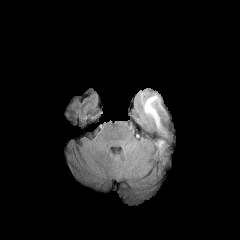
FLAIR magnetic resonance.
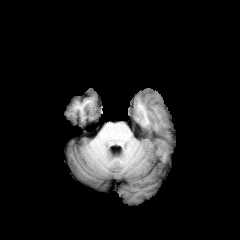
Same slice, T1-weighted MR.
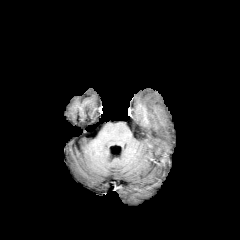
Post-contrast T1-weighted MR image.
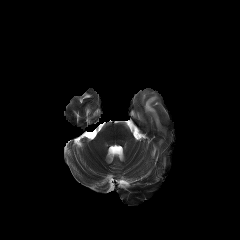
T2-weighted MR.
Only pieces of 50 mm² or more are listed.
peritumoral edema: bbox(141, 91, 162, 129)